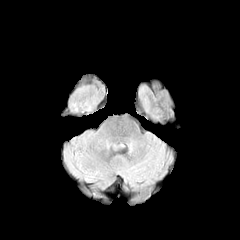
FLAIR magnetic resonance.
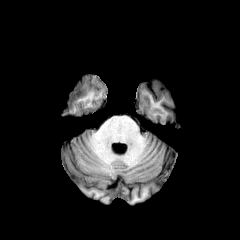
T1-weighted MR of the same slice.
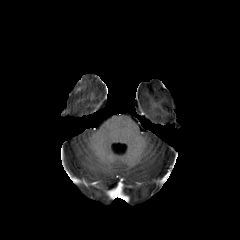
Post-contrast T1-weighted MR image.
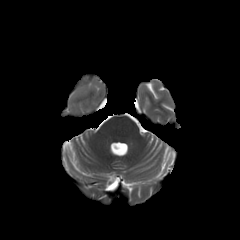
T2-weighted MRI.
Image size 240x240 | Head
enhancing tumor: x1=77 y1=81 x2=86 y2=90